FLAIR magnetic resonance.
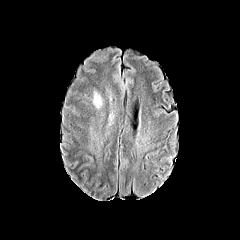
T1-weighted MR.
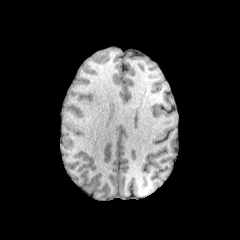
Post-contrast T1-weighted MRI.
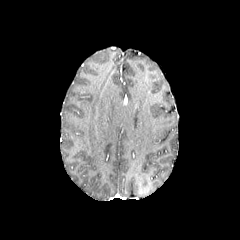
T2-weighted MR.
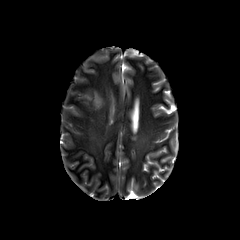
<segmentation>
  <peritumoral_edema>(93, 92, 102, 108)</peritumoral_edema>
</segmentation>